FLAIR MRI.
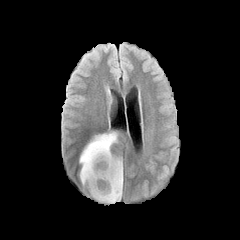
T1-weighted MR.
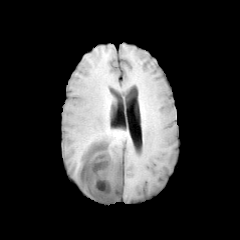
Post-contrast T1-weighted MR image.
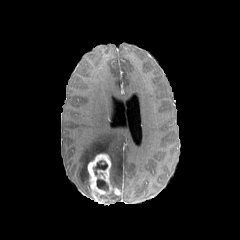
T2-weighted MRI.
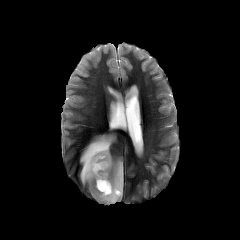
2 peritumoral edema regions appear at [111,193,121,201], [80,132,126,190]. The enhancing tumor is located at [87,153,122,204]. 2 necrotic tumor core regions are located at [97,179,108,190], [93,161,107,174].